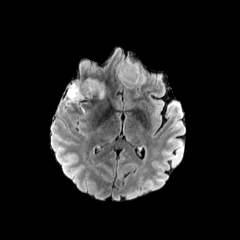
FLAIR MR image.
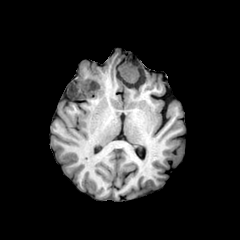
T1-weighted MR image.
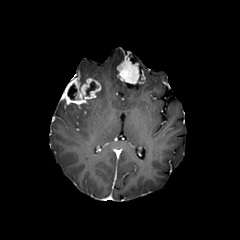
Post-contrast T1-weighted MRI.
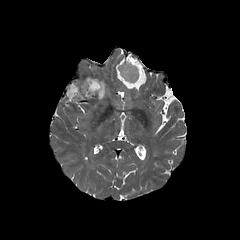
T2-weighted magnetic resonance.
Axial plane.
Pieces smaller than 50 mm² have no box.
necrotic_tumor_core:
  - [68, 84, 76, 99]
  - [86, 82, 97, 95]
enhancing_tumor:
  - [117, 59, 144, 84]
  - [63, 77, 101, 106]
peritumoral_edema:
  - [122, 82, 142, 87]
  - [97, 82, 105, 98]